FLAIR magnetic resonance.
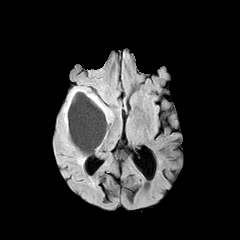
T1-weighted MR.
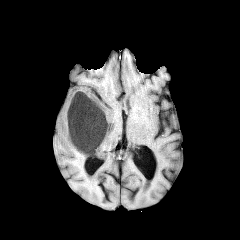
Post-contrast T1-weighted magnetic resonance.
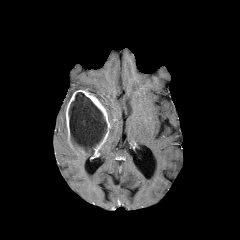
T2-weighted MR.
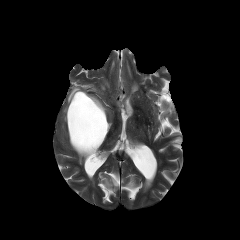
Axial plane
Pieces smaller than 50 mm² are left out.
peritumoral edema: (x1=101, y1=102, x2=113, y2=123), (x1=61, y1=85, x2=92, y2=164), (x1=98, y1=85, x2=104, y2=95) | enhancing tumor: (x1=66, y1=90, x2=110, y2=154) | necrotic tumor core: (x1=68, y1=92, x2=106, y2=153)